FLAIR MR.
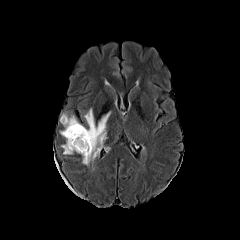
T1-weighted MRI.
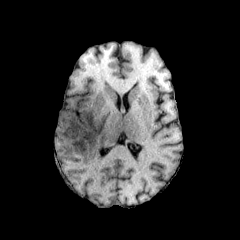
Post-contrast T1-weighted MR.
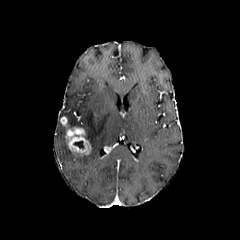
T2-weighted MRI.
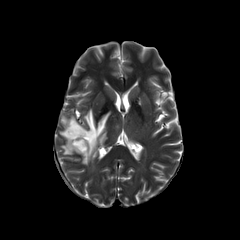
240x240 | Head | Axial slice
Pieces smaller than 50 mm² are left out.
enhancing tumor = left=60, top=116, right=91, bottom=155
necrotic tumor core = left=73, top=141, right=84, bottom=148
peritumoral edema = left=61, top=108, right=110, bottom=165; left=61, top=140, right=77, bottom=154